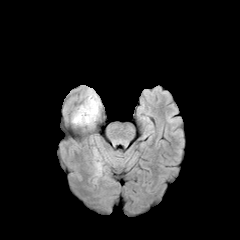
FLAIR MRI.
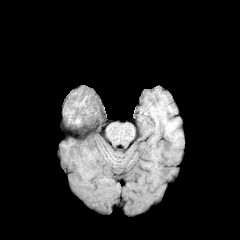
T1-weighted MRI.
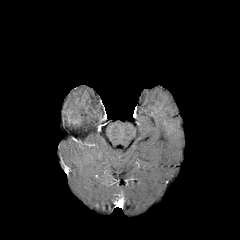
Post-contrast T1-weighted MRI.
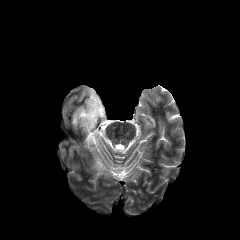
T2-weighted MR image.
Image size 240x240
{
  "peritumoral_edema": [
    "72:88:101:128",
    "92:147:104:175",
    "89:135:100:146"
  ]
}